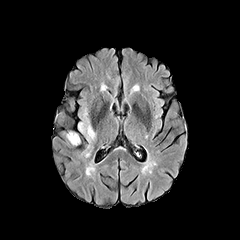
FLAIR magnetic resonance.
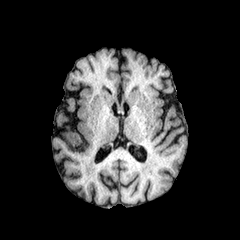
T1-weighted magnetic resonance of the same slice.
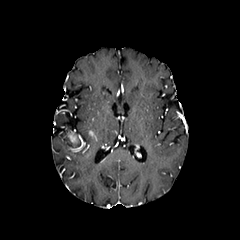
Same slice, post-contrast T1-weighted magnetic resonance.
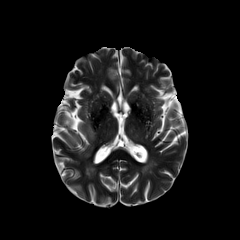
T2-weighted MR.
Head.
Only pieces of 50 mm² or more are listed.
• peritumoral edema: bbox=[79, 113, 95, 141]
• enhancing tumor: bbox=[68, 132, 77, 143]